FLAIR magnetic resonance.
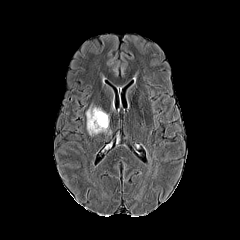
T1-weighted magnetic resonance.
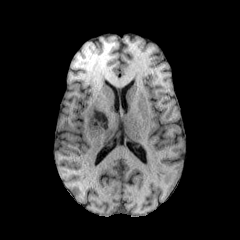
Post-contrast T1-weighted MR.
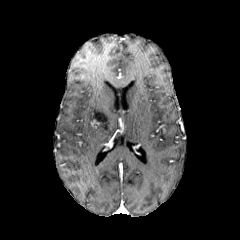
T2-weighted MRI.
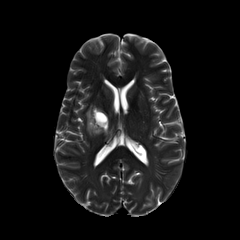
Axial slice
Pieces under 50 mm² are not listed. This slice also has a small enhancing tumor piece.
The largest peritumoral edema region is bounded by (86, 106, 108, 135).